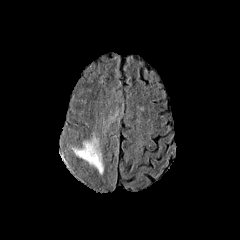
FLAIR MRI.
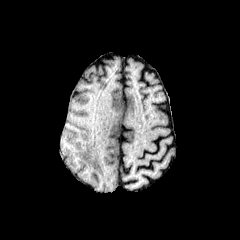
T1-weighted MR image.
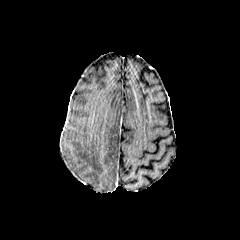
Post-contrast T1-weighted MRI of the same slice.
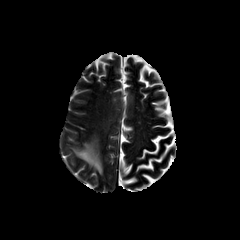
T2-weighted magnetic resonance.
<segmentation>
  <peritumoral_edema>region(72, 137, 103, 174)</peritumoral_edema>
</segmentation>